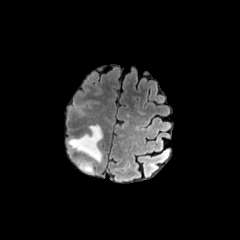
FLAIR MRI.
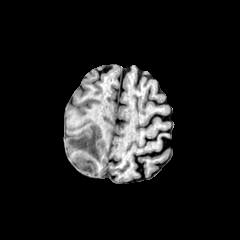
Same slice, T1-weighted MR image.
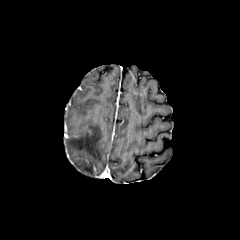
Post-contrast T1-weighted MRI.
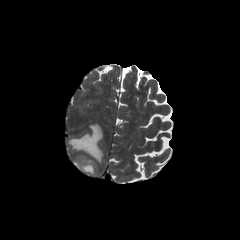
Same slice, T2-weighted MR.
Head | 240x240 px
2 peritumoral edema regions are located at 77, 162, 93, 174; 68, 125, 102, 162.